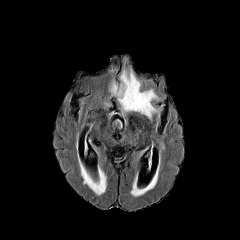
FLAIR MRI.
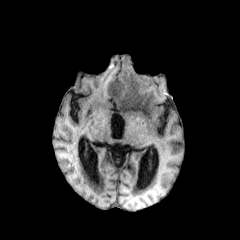
T1-weighted MR.
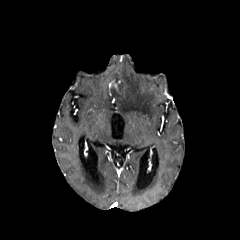
Same slice, post-contrast T1-weighted MR.
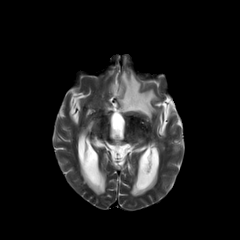
T2-weighted MR.
Brain. Axial plane. 240x240 px.
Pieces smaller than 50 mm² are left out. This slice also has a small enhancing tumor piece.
<segmentation>
  <peritumoral_edema>region(111, 69, 158, 118); region(81, 166, 106, 194)</peritumoral_edema>
</segmentation>